Image size 240x240 | Brain
FLAIR magnetic resonance.
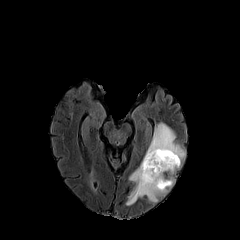
T1-weighted MR image.
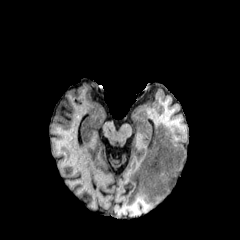
Post-contrast T1-weighted MR.
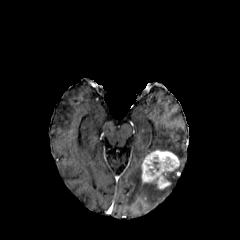
T2-weighted MRI.
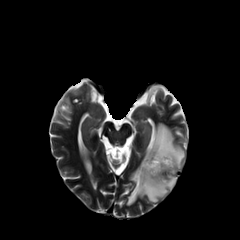
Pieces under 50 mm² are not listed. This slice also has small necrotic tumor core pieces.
enhancing tumor at (141,150,179,189)
peritumoral edema at (126,123,185,205)